Brain, Slice index 57
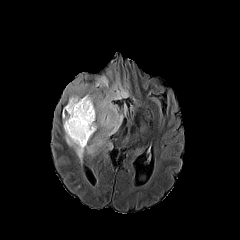
FLAIR MR image.
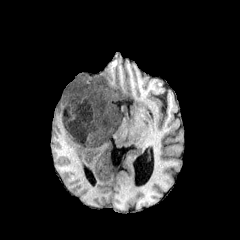
T1-weighted MR image of the same slice.
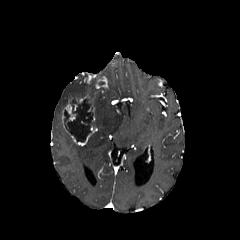
Post-contrast T1-weighted MR image.
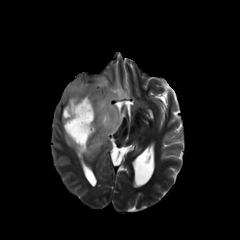
T2-weighted magnetic resonance.
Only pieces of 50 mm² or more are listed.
Annotated regions:
• enhancing tumor: x1=62, y1=75, x2=108, y2=146
• peritumoral edema: x1=62, y1=78, x2=91, y2=98; x1=64, y1=77, x2=129, y2=162
• necrotic tumor core: x1=65, y1=98, x2=93, y2=142